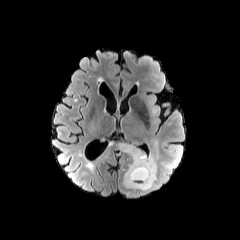
FLAIR MRI.
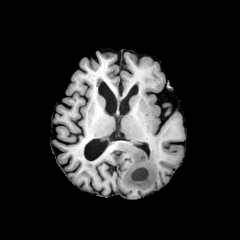
T1-weighted MR of the same slice.
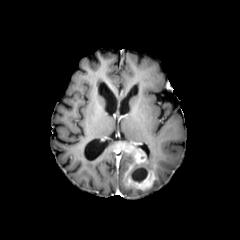
Same slice, post-contrast T1-weighted MR image.
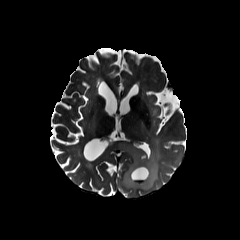
T2-weighted MR image.
Axial plane.
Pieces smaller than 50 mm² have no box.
* enhancing tumor: <bbox>117, 143, 156, 189</bbox>
* necrotic tumor core: <bbox>131, 165, 147, 182</bbox>
* peritumoral edema: <bbox>122, 140, 161, 198</bbox>